Axial plane.
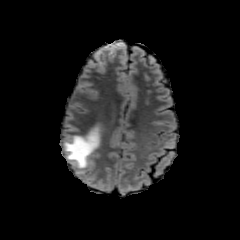
FLAIR MR.
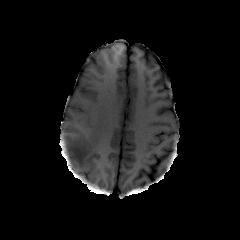
Same slice, T1-weighted MRI.
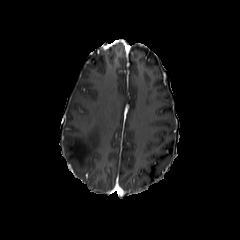
Post-contrast T1-weighted MRI.
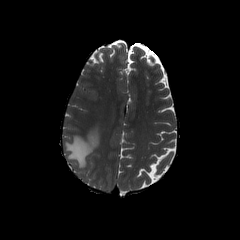
T2-weighted MR.
Segmented structures:
- peritumoral edema: l=64, t=125, r=100, b=168